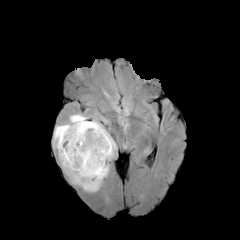
FLAIR MR image.
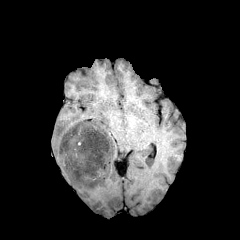
T1-weighted magnetic resonance of the same slice.
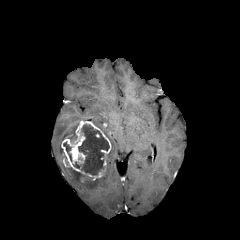
Post-contrast T1-weighted MR image of the same slice.
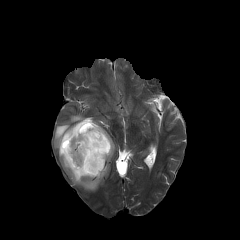
T2-weighted MRI.
240x240 px.
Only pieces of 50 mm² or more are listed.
peritumoral edema: bbox(53, 114, 116, 191)
enhancing tumor: bbox(61, 120, 111, 182)
necrotic tumor core: bbox(73, 124, 109, 175); bbox(63, 142, 71, 161)